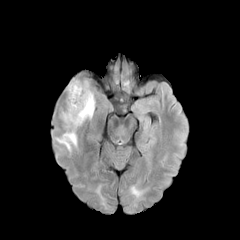
FLAIR magnetic resonance.
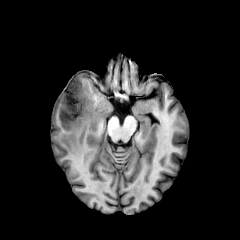
T1-weighted MRI.
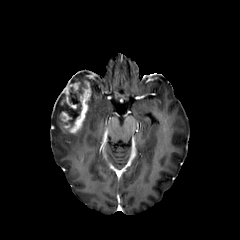
Same slice, post-contrast T1-weighted MR.
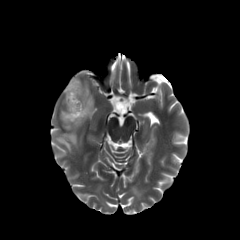
T2-weighted MR image.
Axial plane; Head
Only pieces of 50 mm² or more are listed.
{"necrotic_tumor_core": ["bbox(64, 82, 87, 127)"], "peritumoral_edema": ["bbox(55, 132, 77, 151)", "bbox(85, 92, 95, 119)"], "enhancing_tumor": ["bbox(60, 109, 71, 122)", "bbox(60, 78, 91, 133)"]}